FLAIR MRI.
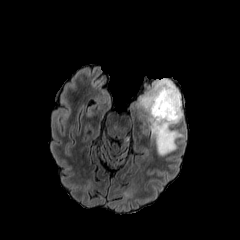
T1-weighted MRI.
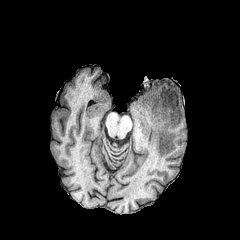
Post-contrast T1-weighted MR image.
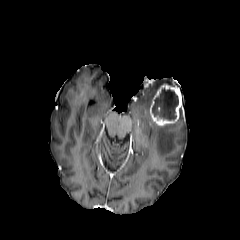
T2-weighted magnetic resonance.
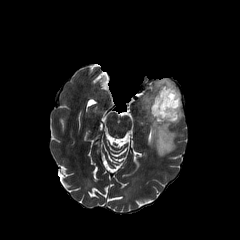
Head
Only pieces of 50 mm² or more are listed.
The necrotic tumor core appears at <box>152,88,178,120</box>. The peritumoral edema appears at <box>139,78,184,156</box>. The largest enhancing tumor region is located at <box>150,84,182,126</box>.